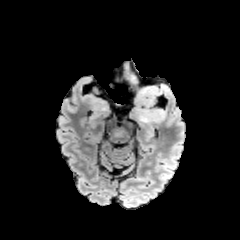
FLAIR magnetic resonance.
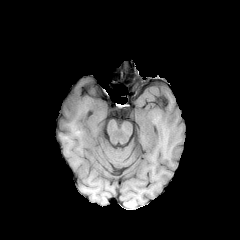
T1-weighted MRI of the same slice.
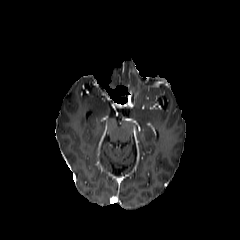
Post-contrast T1-weighted MRI of the same slice.
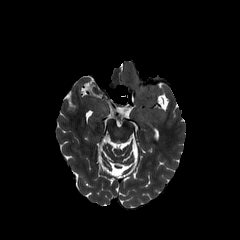
T2-weighted MR.
Axial slice. 240x240.
peritumoral_edema:
  - (x1=122, y1=61, x2=138, y2=85)
  - (x1=134, y1=83, x2=167, y2=108)
  - (x1=133, y1=108, x2=166, y2=123)